FLAIR MRI.
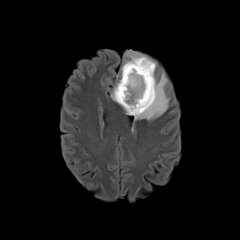
T1-weighted magnetic resonance.
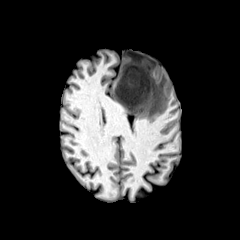
Post-contrast T1-weighted MRI.
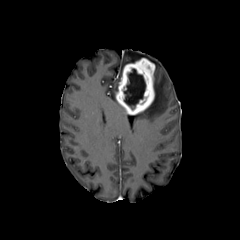
T2-weighted MR image.
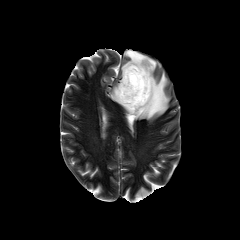
Brain.
enhancing tumor = left=115, top=58, right=155, bottom=114
peritumoral edema = left=133, top=72, right=169, bottom=119; left=121, top=50, right=156, bottom=72; left=111, top=82, right=118, bottom=101
necrotic tumor core = left=124, top=68, right=145, bottom=109